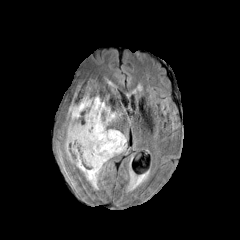
FLAIR MR.
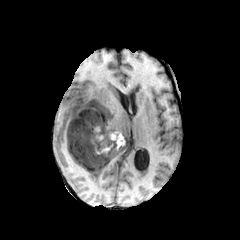
T1-weighted MR image of the same slice.
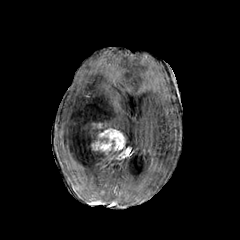
Post-contrast T1-weighted MR of the same slice.
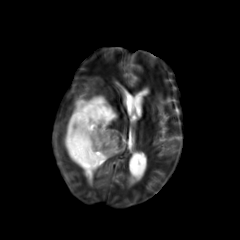
T2-weighted magnetic resonance.
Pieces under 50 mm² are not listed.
peritumoral edema: (x1=64, y1=95, x2=116, y2=187)
enhancing tumor: (x1=91, y1=128, x2=125, y2=161), (x1=91, y1=122, x2=106, y2=128)
necrotic tumor core: (x1=76, y1=126, x2=92, y2=148), (x1=96, y1=151, x2=105, y2=162), (x1=79, y1=157, x2=86, y2=167)